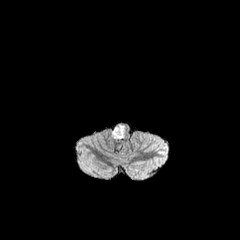
FLAIR MRI.
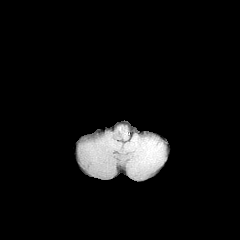
T1-weighted magnetic resonance.
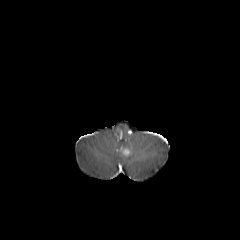
Post-contrast T1-weighted MR of the same slice.
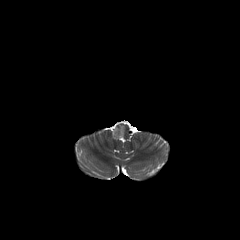
T2-weighted MR image of the same slice.
Axial slice. Brain. Image size 240x240.
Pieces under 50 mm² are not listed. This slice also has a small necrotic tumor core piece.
peritumoral edema: 112,124,125,139 | enhancing tumor: 114,128,122,138